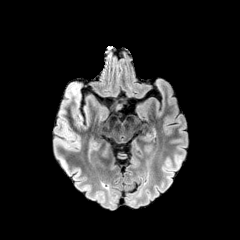
FLAIR MR.
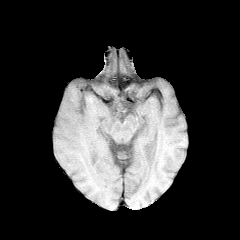
T1-weighted magnetic resonance of the same slice.
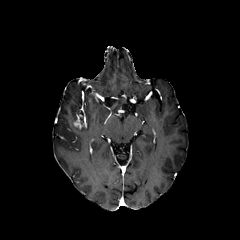
Post-contrast T1-weighted MRI of the same slice.
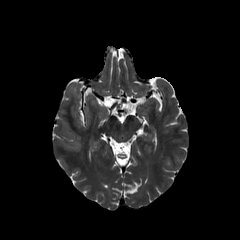
T2-weighted MR of the same slice.
Head | Axial view
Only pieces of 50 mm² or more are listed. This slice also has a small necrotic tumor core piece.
{"enhancing_tumor": ["bbox=[72, 114, 85, 129]"]}